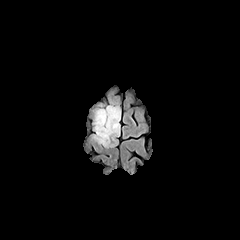
FLAIR MR.
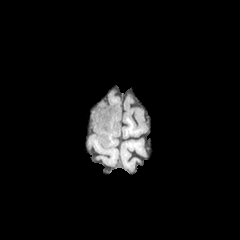
Same slice, T1-weighted magnetic resonance.
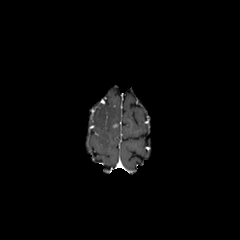
Post-contrast T1-weighted magnetic resonance of the same slice.
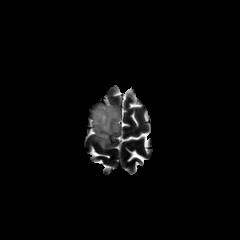
T2-weighted MRI of the same slice.
Head.
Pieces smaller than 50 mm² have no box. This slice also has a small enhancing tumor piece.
The largest peritumoral edema region is at x1=93 y1=105 x2=120 y2=146.